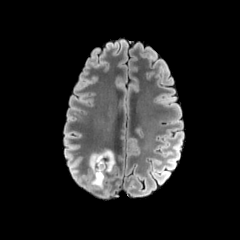
FLAIR MR.
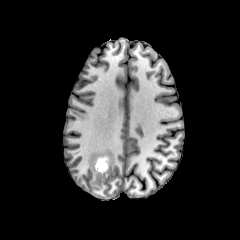
T1-weighted MR.
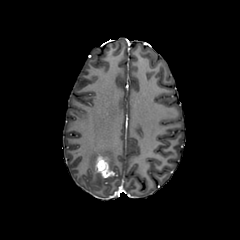
Post-contrast T1-weighted MR image.
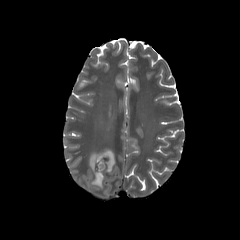
T2-weighted magnetic resonance.
Head.
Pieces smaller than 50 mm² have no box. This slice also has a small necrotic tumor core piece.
peritumoral_edema:
  - rect(89, 149, 115, 188)
enhancing_tumor:
  - rect(96, 156, 113, 178)